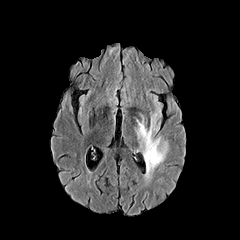
FLAIR magnetic resonance.
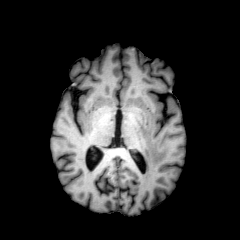
T1-weighted MR image.
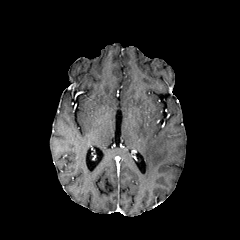
Post-contrast T1-weighted MR.
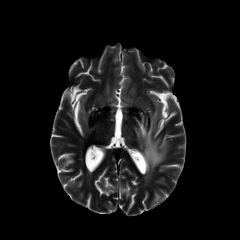
T2-weighted MRI.
Brain; 240x240 px; Axial slice
peritumoral_edema:
  - <box>134,102,169,187</box>